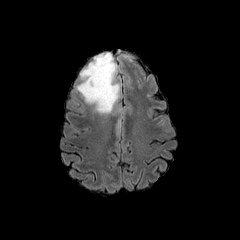
FLAIR magnetic resonance.
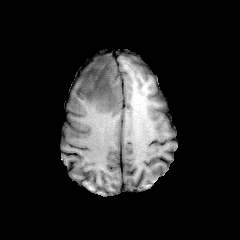
T1-weighted magnetic resonance.
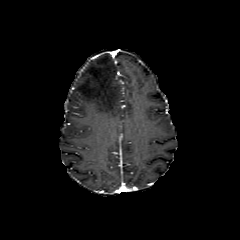
Same slice, post-contrast T1-weighted magnetic resonance.
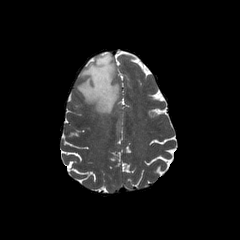
T2-weighted MR of the same slice.
Axial plane, Head
Findings:
- peritumoral edema: 76, 53, 119, 114